Axial slice, Image covers 240 mm x 240 mm
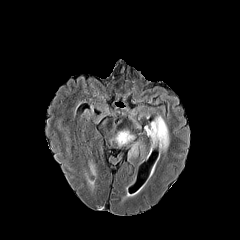
FLAIR magnetic resonance.
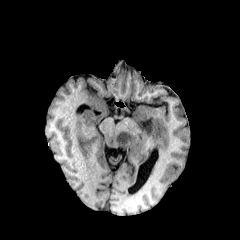
T1-weighted MRI of the same slice.
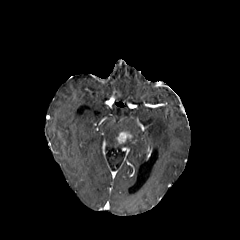
Post-contrast T1-weighted MRI of the same slice.
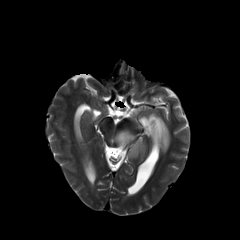
T2-weighted MR image.
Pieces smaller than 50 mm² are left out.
enhancing tumor: bounding box (left=116, top=131, right=132, bottom=143)
peritumoral edema: bounding box (left=129, top=142, right=143, bottom=157), (left=146, top=116, right=169, bottom=151)